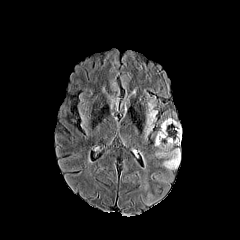
FLAIR MR.
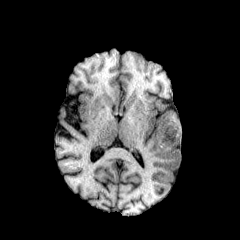
T1-weighted MR.
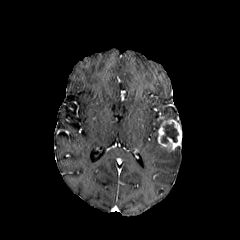
Same slice, post-contrast T1-weighted MR image.
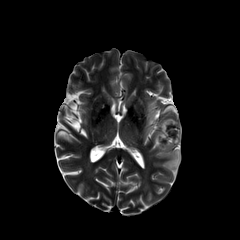
T2-weighted MR image.
Axial view
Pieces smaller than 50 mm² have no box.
The 2 largest peritumoral edema regions appear at x1=145, y1=104, x2=155, y2=134; x1=155, y1=133, x2=180, y2=170. The enhancing tumor is at x1=157, y1=119, x2=181, y2=149. The necrotic tumor core is at x1=161, y1=123, x2=178, y2=143.